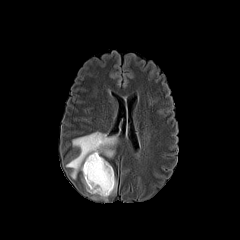
FLAIR MRI.
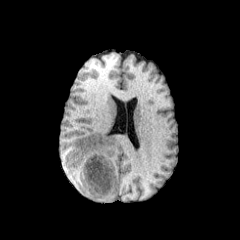
T1-weighted MRI.
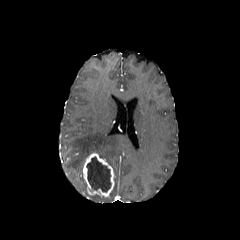
Post-contrast T1-weighted MRI.
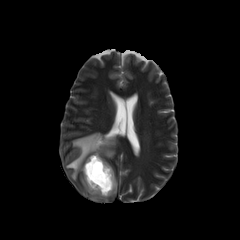
T2-weighted MRI.
Brain | Axial view
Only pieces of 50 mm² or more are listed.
peritumoral edema — <bbox>66, 132, 117, 179</bbox>, <bbox>109, 178, 116, 195</bbox>
enhancing tumor — <bbox>83, 152, 114, 197</bbox>
necrotic tumor core — <bbox>86, 157, 111, 192</bbox>